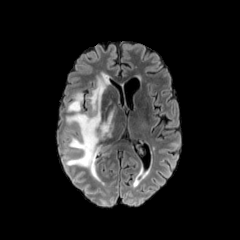
FLAIR magnetic resonance.
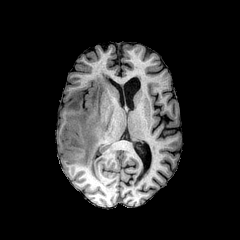
T1-weighted MRI of the same slice.
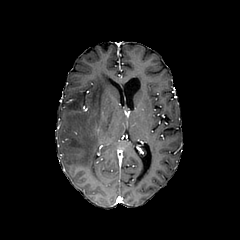
Same slice, post-contrast T1-weighted MR.
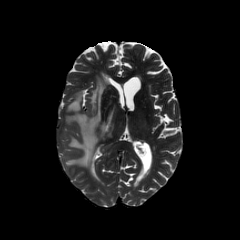
T2-weighted MRI of the same slice.
Axial view, Brain, 240x240
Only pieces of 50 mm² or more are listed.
Annotated regions:
* peritumoral edema: (65, 74, 117, 180)
* enhancing tumor: (93, 128, 100, 137)